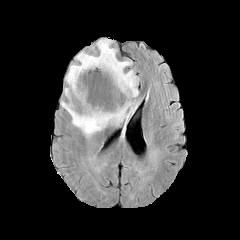
FLAIR MRI.
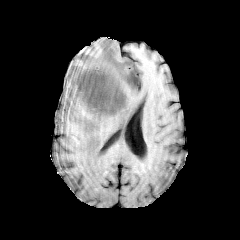
T1-weighted MR.
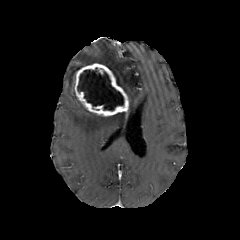
Post-contrast T1-weighted magnetic resonance.
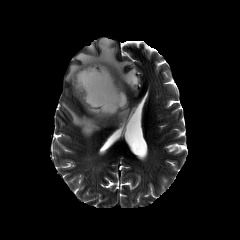
T2-weighted MR of the same slice.
Axial slice | Brain
The enhancing tumor is at (73, 63, 129, 116). The peritumoral edema is located at (61, 38, 139, 137). The necrotic tumor core is located at (77, 68, 123, 110).